Slice index 107 | Axial plane | Image width 240 mm, 1.00 mm slice spacing | Brain
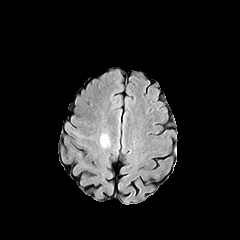
FLAIR MRI.
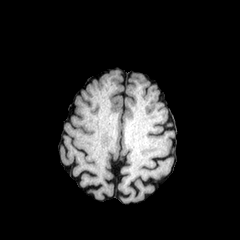
T1-weighted magnetic resonance of the same slice.
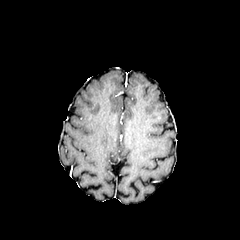
Post-contrast T1-weighted MR image.
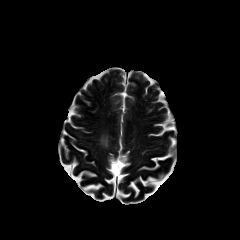
Same slice, T2-weighted magnetic resonance.
peritumoral edema: bbox(100, 133, 110, 148)